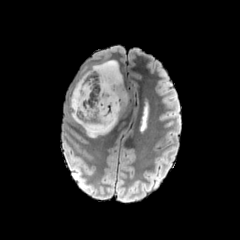
FLAIR MR.
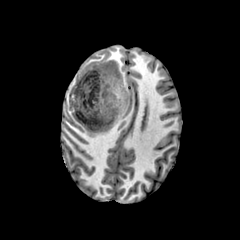
T1-weighted magnetic resonance of the same slice.
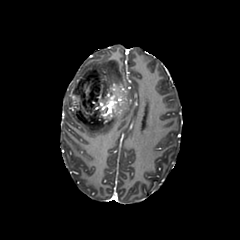
Same slice, post-contrast T1-weighted MRI.
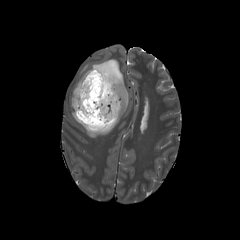
T2-weighted magnetic resonance.
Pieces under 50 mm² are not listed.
enhancing_tumor:
  - <bbox>83, 84, 90, 96</bbox>
  - <bbox>71, 70, 127, 125</bbox>
peritumoral_edema:
  - <bbox>71, 103, 127, 137</bbox>
  - <bbox>72, 60, 123, 94</bbox>
necrotic_tumor_core:
  - <bbox>76, 110, 103, 124</bbox>
  - <bbox>79, 72, 106, 112</bbox>